Image size 240x240. Head.
FLAIR MR image.
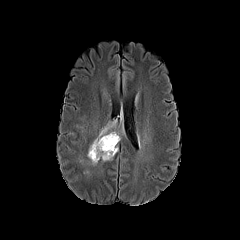
T1-weighted MRI.
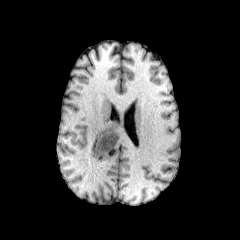
Post-contrast T1-weighted MR image.
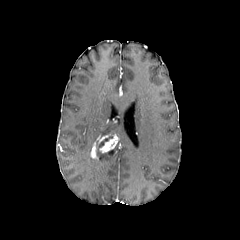
T2-weighted magnetic resonance.
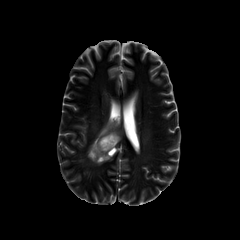
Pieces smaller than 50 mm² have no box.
Segmented structures:
• enhancing tumor: 91, 134, 118, 158
• peritumoral edema: 87, 144, 117, 164; 98, 123, 120, 140
• necrotic tumor core: 98, 136, 112, 147